Head; Slice index 110
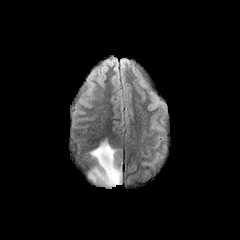
FLAIR MR image.
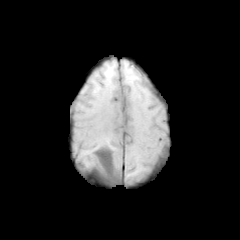
T1-weighted MRI of the same slice.
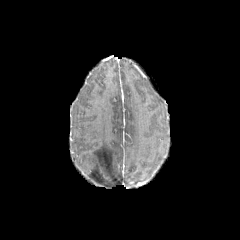
Same slice, post-contrast T1-weighted magnetic resonance.
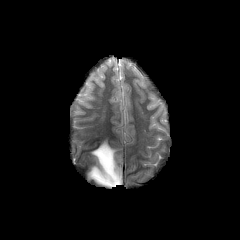
T2-weighted MR image.
peritumoral edema: bounding box l=88, t=140, r=121, b=187